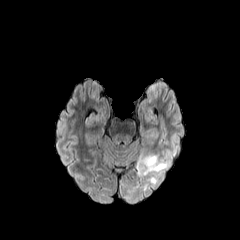
FLAIR magnetic resonance.
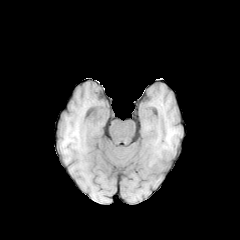
T1-weighted magnetic resonance of the same slice.
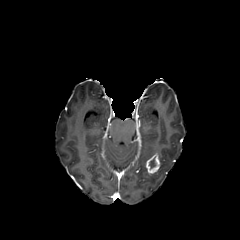
Post-contrast T1-weighted MRI of the same slice.
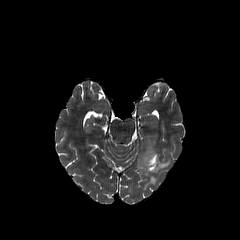
Same slice, T2-weighted magnetic resonance.
Brain, Axial slice, 240x240 px
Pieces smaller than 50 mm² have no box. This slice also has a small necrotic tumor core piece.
The peritumoral edema is bounded by box(137, 150, 169, 189). The enhancing tumor appears at box(145, 153, 160, 173).